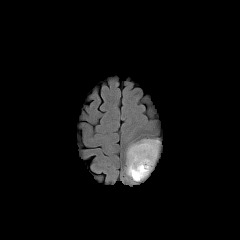
FLAIR magnetic resonance.
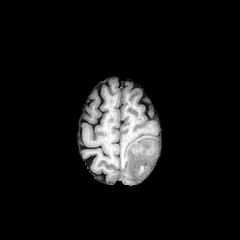
T1-weighted MR image.
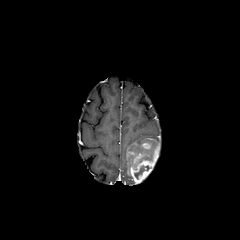
Same slice, post-contrast T1-weighted MR.
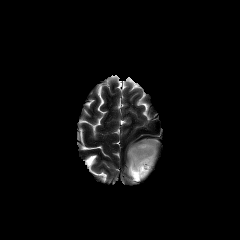
Same slice, T2-weighted magnetic resonance.
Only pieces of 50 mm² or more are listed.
necrotic_tumor_core:
  - left=134, top=166, right=149, bottom=178
enhancing_tumor:
  - left=127, top=143, right=159, bottom=183
peritumoral_edema:
  - left=127, top=139, right=158, bottom=153